Head. Image covers 240 mm x 240 mm.
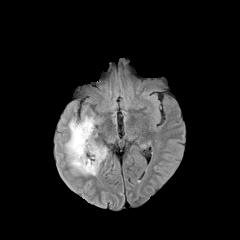
FLAIR MR image.
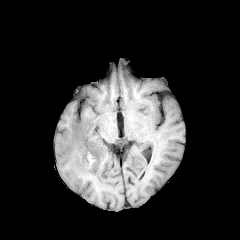
Same slice, T1-weighted magnetic resonance.
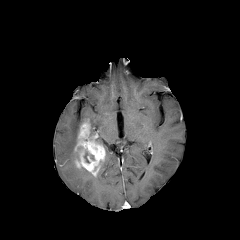
Same slice, post-contrast T1-weighted MR.
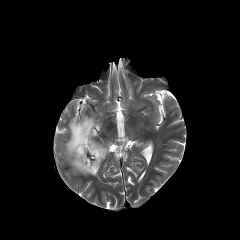
T2-weighted MR image.
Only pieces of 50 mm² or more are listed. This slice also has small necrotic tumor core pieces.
<segmentation>
  <enhancing_tumor>74,119,105,175</enhancing_tumor>
  <peritumoral_edema>65,115,98,175</peritumoral_edema>
</segmentation>